FLAIR magnetic resonance.
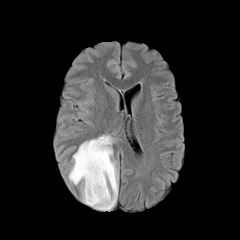
T1-weighted MRI.
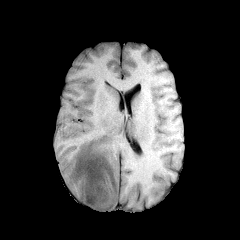
Post-contrast T1-weighted magnetic resonance.
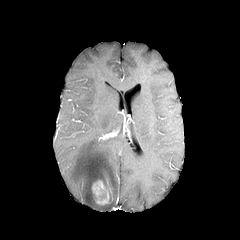
T2-weighted MR.
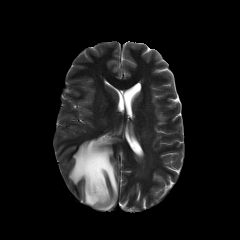
Axial slice | Brain
Annotated regions:
- enhancing tumor: 92,179,110,204
- peritumoral edema: 68,137,118,210